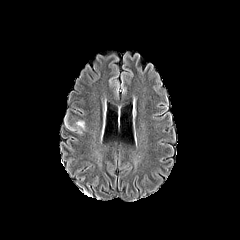
FLAIR MR image.
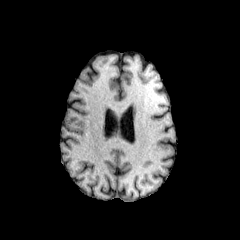
T1-weighted MRI of the same slice.
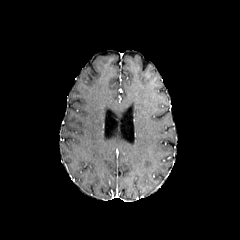
Same slice, post-contrast T1-weighted magnetic resonance.
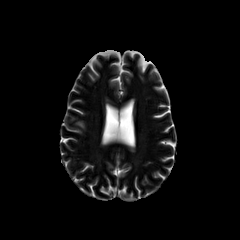
T2-weighted MR.
240x240 px
The peritumoral edema is at 66, 121, 85, 133.